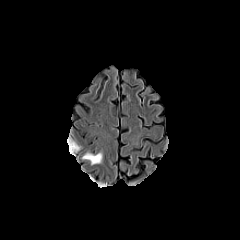
FLAIR MR image.
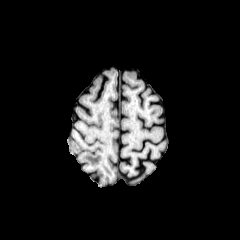
T1-weighted MRI.
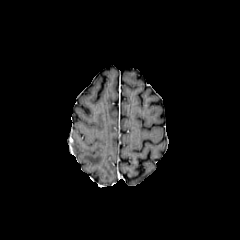
Post-contrast T1-weighted MR.
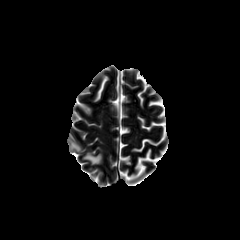
T2-weighted magnetic resonance.
Axial plane
<segmentation>
  <peritumoral_edema>[x1=69, y1=142, x2=79, y2=150], [x1=83, y1=153, x2=102, y2=164]</peritumoral_edema>
</segmentation>